Slice 97/155, Axial plane, 240x240, Head
FLAIR MR image.
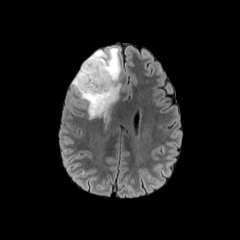
T1-weighted MR.
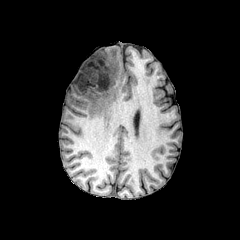
Post-contrast T1-weighted magnetic resonance.
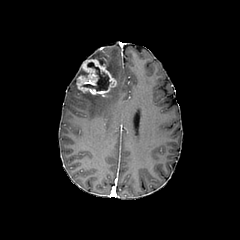
T2-weighted MRI.
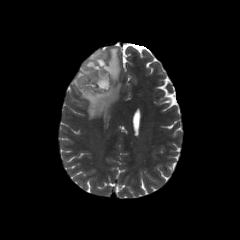
necrotic tumor core: (left=83, top=62, right=110, bottom=90)
enhancing tumor: (left=76, top=58, right=116, bottom=97)
peritumoral edema: (left=72, top=47, right=121, bottom=119)